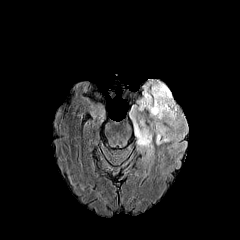
FLAIR MRI.
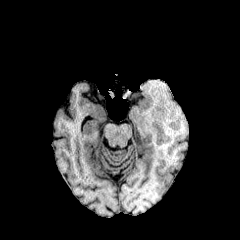
T1-weighted magnetic resonance of the same slice.
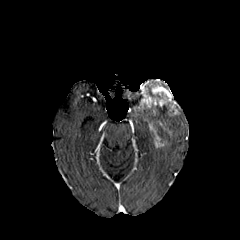
Post-contrast T1-weighted MR.
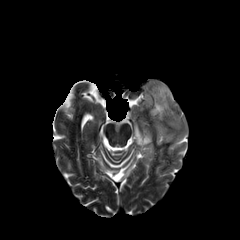
T2-weighted magnetic resonance of the same slice.
Head
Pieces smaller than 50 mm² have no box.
peritumoral edema: [x1=130, y1=106, x2=184, y2=159] | enhancing tumor: [x1=134, y1=80, x2=181, y2=115], [x1=149, y1=121, x2=165, y2=147]